Brain, Slice index 107
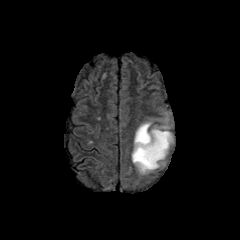
FLAIR MR image.
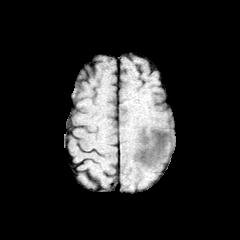
T1-weighted MR image of the same slice.
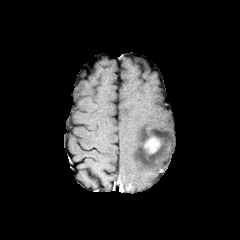
Same slice, post-contrast T1-weighted MR image.
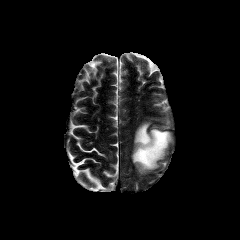
T2-weighted MR.
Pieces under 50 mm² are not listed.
The enhancing tumor is at 144 136 162 154. The largest peritumoral edema region appears at 131 121 173 174.